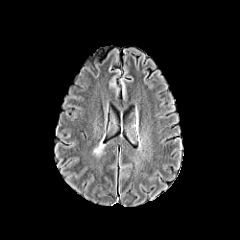
FLAIR magnetic resonance.
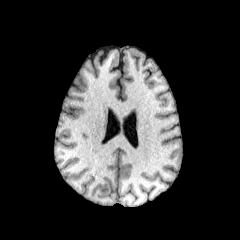
Same slice, T1-weighted MR.
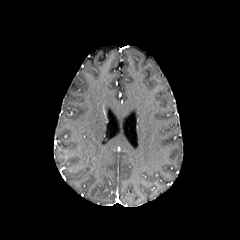
Post-contrast T1-weighted magnetic resonance.
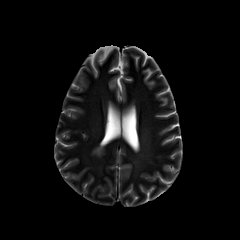
T2-weighted MRI.
Axial slice
The peritumoral edema is bounded by left=93, top=140, right=104, bottom=155.